FLAIR MR image.
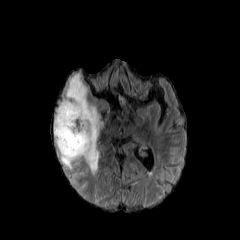
T1-weighted MR image.
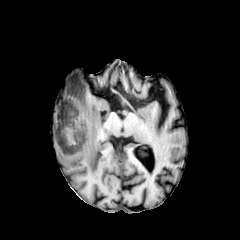
Post-contrast T1-weighted MR image.
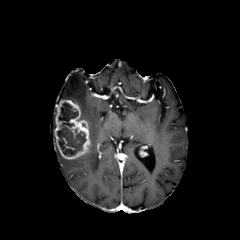
T2-weighted magnetic resonance.
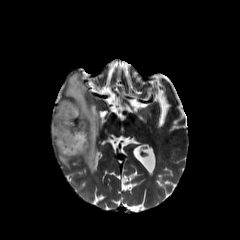
Head | Axial plane
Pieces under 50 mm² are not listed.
{
  "necrotic_tumor_core": [
    "57 102 85 156"
  ],
  "enhancing_tumor": [
    "54 99 90 159"
  ],
  "peritumoral_edema": [
    "58 73 102 174"
  ]
}